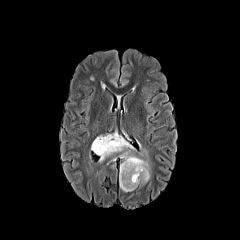
FLAIR MR image.
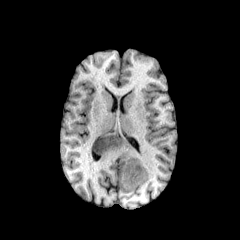
T1-weighted MRI.
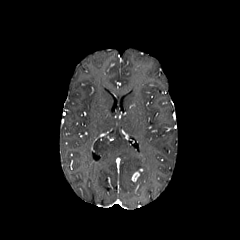
Post-contrast T1-weighted MR image.
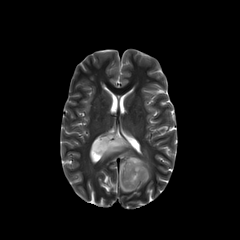
T2-weighted magnetic resonance.
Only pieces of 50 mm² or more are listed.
peritumoral edema: bounding box left=119, top=150, right=150, bottom=192; left=92, top=132, right=133, bottom=161
enhancing tumor: bounding box left=131, top=168, right=142, bottom=181